Head, Image width 240 mm, 1.00 mm slice spacing
FLAIR MR image.
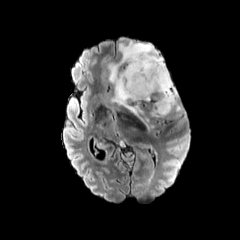
T1-weighted MR image.
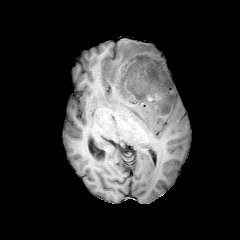
Post-contrast T1-weighted MR.
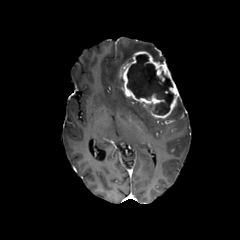
T2-weighted MR image.
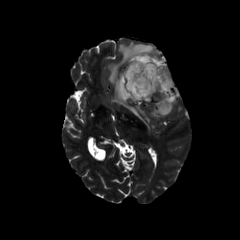
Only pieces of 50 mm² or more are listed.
enhancing_tumor:
  - 120:51:179:118
necrotic_tumor_core:
  - 127:54:173:114
peritumoral_edema:
  - 108:41:164:131
  - 172:99:182:113